FLAIR MRI.
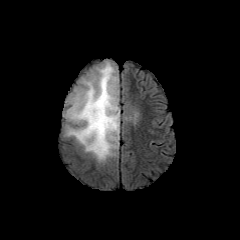
T1-weighted MR image.
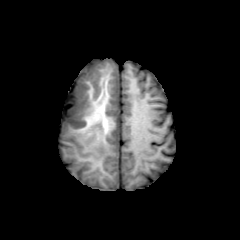
Post-contrast T1-weighted MR.
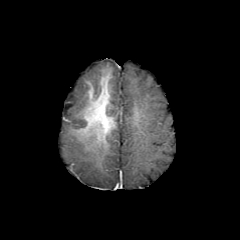
T2-weighted MR image.
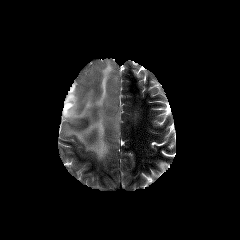
Image size 240x240
peritumoral edema = l=63, t=60, r=120, b=162